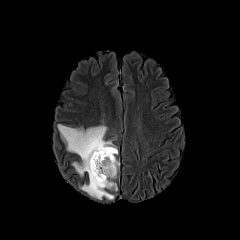
FLAIR MR image.
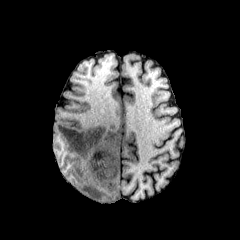
T1-weighted magnetic resonance of the same slice.
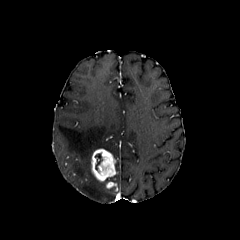
Post-contrast T1-weighted MR image.
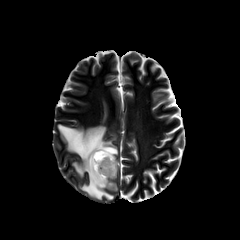
Same slice, T2-weighted MR.
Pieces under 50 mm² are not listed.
The 2 largest enhancing tumor regions appear at rect(106, 181, 117, 190); rect(91, 148, 117, 182). The necrotic tumor core is at rect(95, 154, 101, 170). The largest peritumoral edema region lies within rect(57, 124, 117, 199).